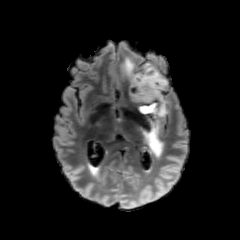
FLAIR MR image.
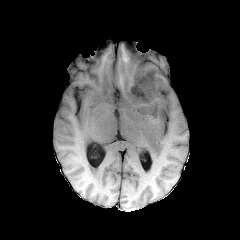
T1-weighted MR.
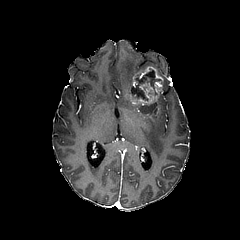
Post-contrast T1-weighted magnetic resonance of the same slice.
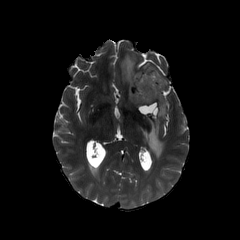
T2-weighted magnetic resonance.
Image size 240x240
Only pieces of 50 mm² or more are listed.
peritumoral edema at box=[143, 119, 163, 157]; box=[157, 93, 166, 117]; box=[123, 55, 139, 87]
enhancing tumor at box=[130, 66, 163, 105]
necrotic tumor core at box=[132, 69, 161, 100]; box=[139, 104, 156, 113]